FLAIR MR image.
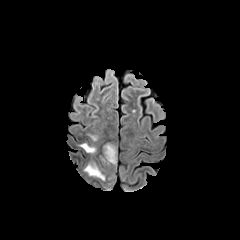
T1-weighted magnetic resonance.
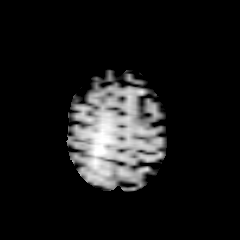
Post-contrast T1-weighted MR image.
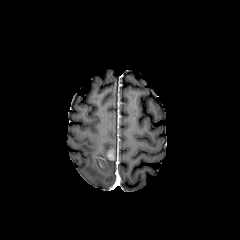
T2-weighted magnetic resonance.
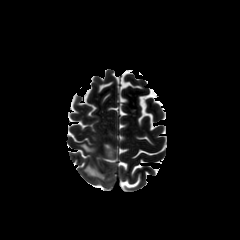
240x240
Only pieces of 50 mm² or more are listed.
<segmentation>
  <peritumoral_edema>x1=104, y1=144, x2=114, y2=155; x1=80, y1=143, x2=95, y2=153; x1=84, y1=163, x2=104, y2=180</peritumoral_edema>
  <enhancing_tumor>x1=106, y1=150, x2=114, y2=160</enhancing_tumor>
</segmentation>